Image width 240 mm. Axial view. Slice 88/155.
FLAIR MR image.
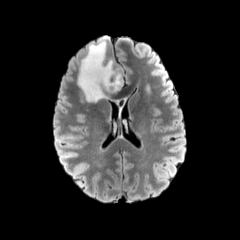
T1-weighted magnetic resonance.
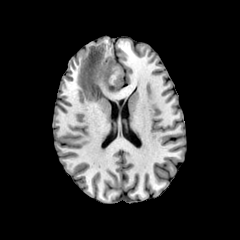
Post-contrast T1-weighted MR image.
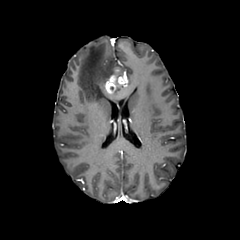
T2-weighted magnetic resonance.
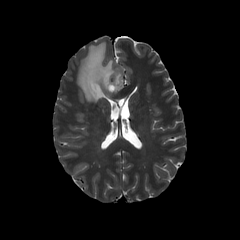
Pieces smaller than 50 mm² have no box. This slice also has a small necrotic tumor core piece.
peritumoral edema — l=78, t=37, r=123, b=101
enhancing tumor — l=105, t=74, r=127, b=94